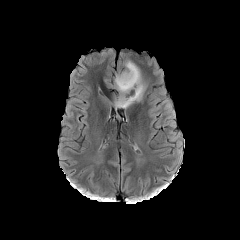
FLAIR MR image.
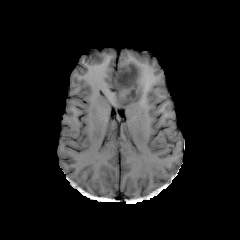
T1-weighted MR image.
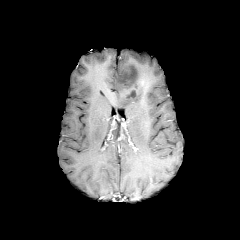
Post-contrast T1-weighted MR.
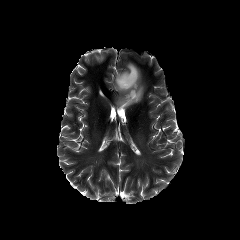
Same slice, T2-weighted MR image.
Image size 240x240.
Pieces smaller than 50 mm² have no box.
The peritumoral edema appears at x1=114 y1=61 x2=145 y2=108. The largest necrotic tumor core region is bounded by x1=118 y1=68 x2=136 y2=87.